FLAIR MRI.
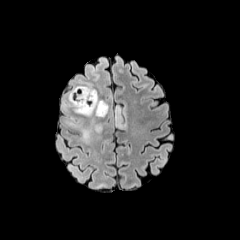
T1-weighted MRI.
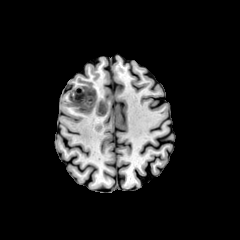
Post-contrast T1-weighted MRI.
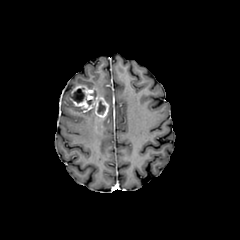
T2-weighted MRI.
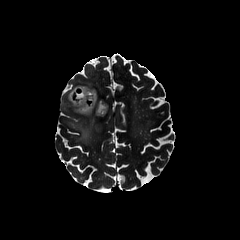
Axial slice; Brain
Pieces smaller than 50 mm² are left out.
The 2 largest necrotic tumor core regions are located at 97 100 105 114, 72 88 85 103. The largest peritumoral edema region is bounded by 63 91 102 144. The enhancing tumor appears at 70 86 108 117.